FLAIR MRI.
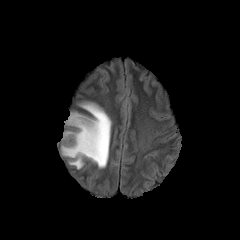
T1-weighted MR.
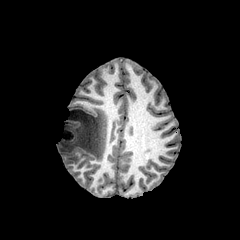
Post-contrast T1-weighted MR.
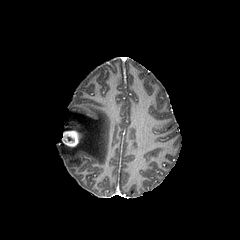
T2-weighted MRI.
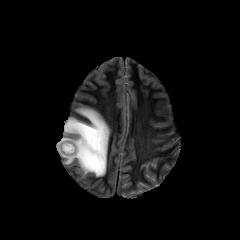
Axial slice; Image size 240x240; Brain
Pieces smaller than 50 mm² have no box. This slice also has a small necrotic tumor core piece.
Annotated regions:
• peritumoral edema: 60, 103, 111, 170
• enhancing tumor: 62, 130, 79, 146